Head, Slice index 75, 240x240 px
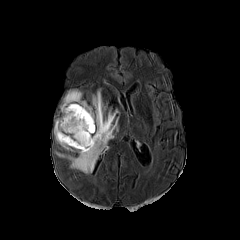
FLAIR MR image.
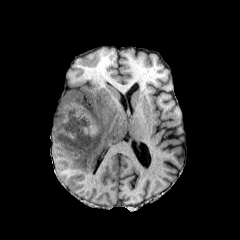
T1-weighted MR image of the same slice.
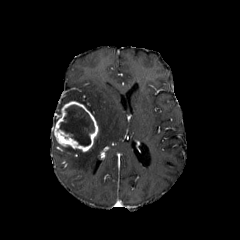
Same slice, post-contrast T1-weighted MR image.
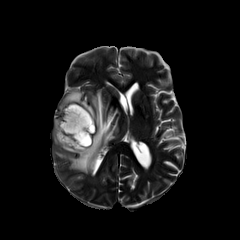
Same slice, T2-weighted MRI.
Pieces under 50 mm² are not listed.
The enhancing tumor is bounded by (left=55, top=101, right=98, bottom=152). The 2 largest peritumoral edema regions are located at (left=55, top=90, right=118, bottom=173), (left=60, top=91, right=92, bottom=112). The largest necrotic tumor core region lies within (left=60, top=105, right=94, bottom=145).